Axial slice; Head
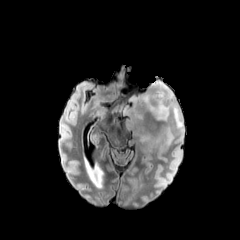
FLAIR MR.
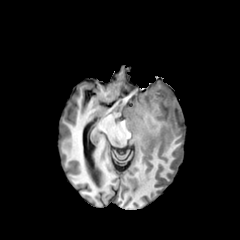
T1-weighted MRI.
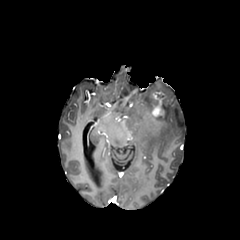
Post-contrast T1-weighted MR.
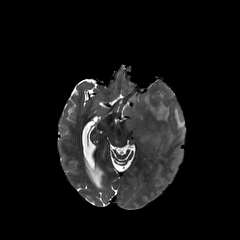
Same slice, T2-weighted MR image.
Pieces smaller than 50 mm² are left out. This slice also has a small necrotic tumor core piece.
Findings:
- enhancing tumor: box(151, 91, 165, 116)
- peritumoral edema: box(123, 81, 184, 149)